Axial plane; Slice 58 of 155; Brain
FLAIR MR.
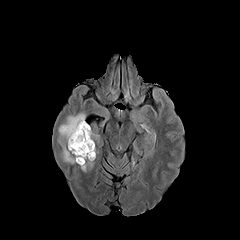
T1-weighted MR image.
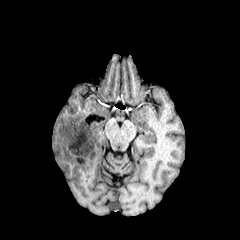
Post-contrast T1-weighted magnetic resonance.
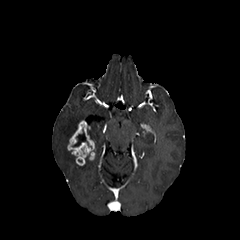
T2-weighted MRI.
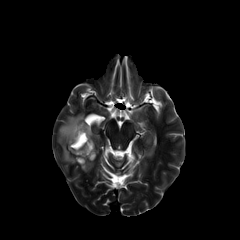
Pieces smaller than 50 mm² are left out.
{"necrotic_tumor_core": ["(72, 130, 86, 146)"], "enhancing_tumor": ["(67, 120, 95, 165)"], "peritumoral_edema": ["(58, 113, 85, 163)", "(87, 129, 99, 140)", "(81, 156, 93, 171)"]}